FLAIR magnetic resonance.
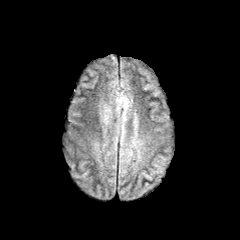
T1-weighted MR image.
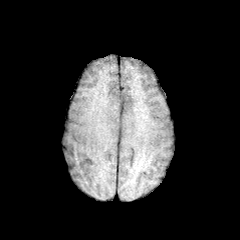
Post-contrast T1-weighted magnetic resonance.
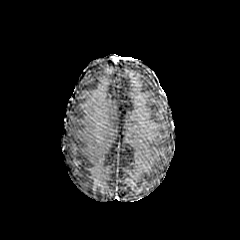
T2-weighted MRI.
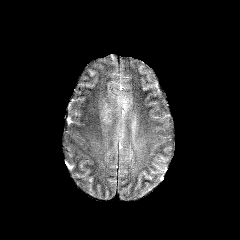
Brain
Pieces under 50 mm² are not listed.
The largest peritumoral edema region appears at (left=103, top=106, right=110, bottom=122).